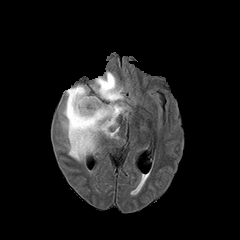
FLAIR MR.
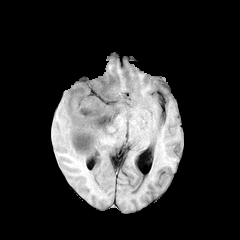
T1-weighted MR.
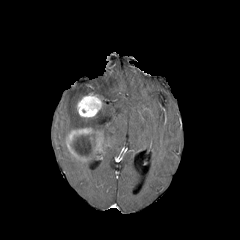
Post-contrast T1-weighted magnetic resonance.
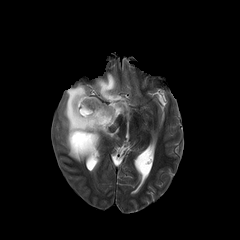
T2-weighted MR image.
Head
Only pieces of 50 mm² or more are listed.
Segmented structures:
* peritumoral edema: 61, 72, 129, 139; 68, 148, 94, 161
* necrotic tumor core: 73, 144, 93, 153
* enhancing tumor: 66, 127, 101, 159; 76, 93, 103, 118